FLAIR MRI.
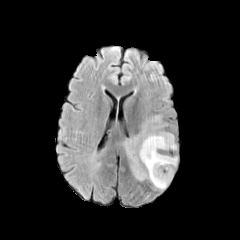
T1-weighted MR.
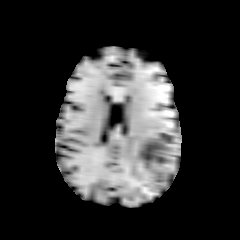
Post-contrast T1-weighted MR image.
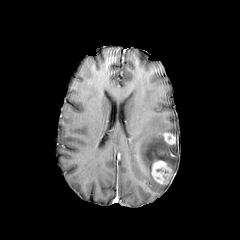
T2-weighted MR.
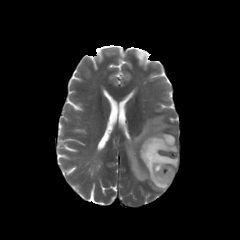
Axial view, Image size 240x240
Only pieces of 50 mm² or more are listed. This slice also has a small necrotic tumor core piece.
enhancing tumor — box(163, 133, 175, 144); box(151, 160, 172, 184)
peritumoral edema — box(124, 116, 177, 189)